FLAIR MR.
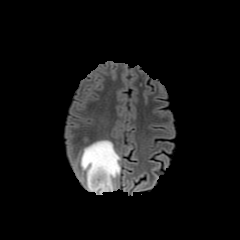
T1-weighted magnetic resonance.
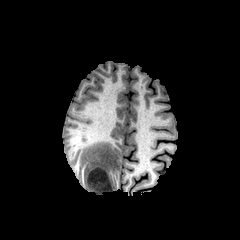
Post-contrast T1-weighted MR image.
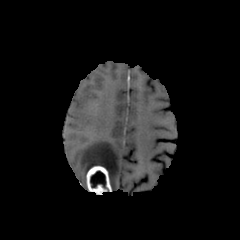
T2-weighted MR image.
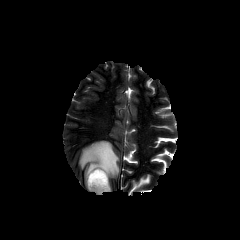
Axial slice. Brain.
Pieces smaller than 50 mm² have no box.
{"necrotic_tumor_core": ["[x1=90, y1=171, x2=106, y2=188]"], "peritumoral_edema": ["[x1=80, y1=140, x2=120, y2=191]"], "enhancing_tumor": ["[x1=86, y1=166, x2=111, y2=194]"]}